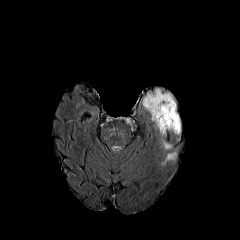
FLAIR MR.
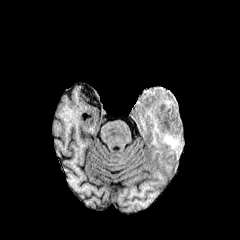
T1-weighted MR.
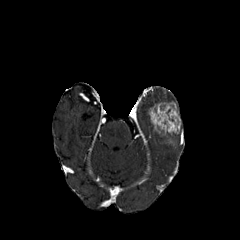
Post-contrast T1-weighted MR.
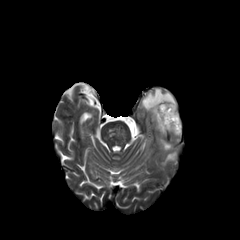
Same slice, T2-weighted MR.
240x240
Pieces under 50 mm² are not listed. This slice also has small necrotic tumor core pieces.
peritumoral_edema:
  - 142,88,175,111
  - 162,151,176,164
  - 162,139,171,149
enhancing_tumor:
  - 148,102,181,135